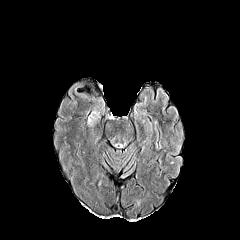
FLAIR MRI.
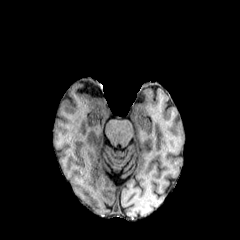
T1-weighted MR image.
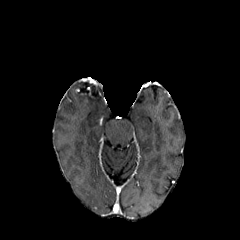
Post-contrast T1-weighted MR.
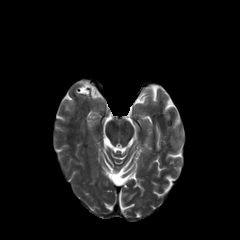
T2-weighted MRI.
Image size 240x240, Axial view, Brain
peritumoral edema at 87, 111, 98, 126